Image width 240 mm. Slice index 93. Axial slice.
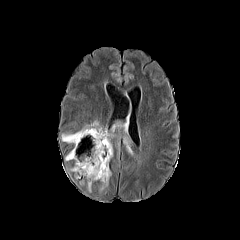
FLAIR MR image.
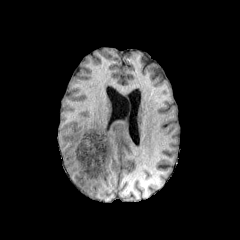
T1-weighted MR image of the same slice.
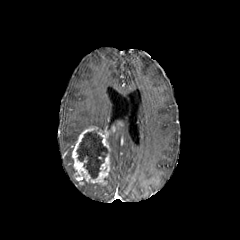
Post-contrast T1-weighted MR image.
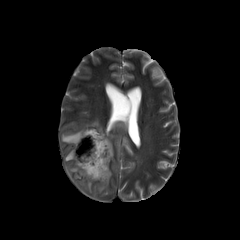
T2-weighted MRI.
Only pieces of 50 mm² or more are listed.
peritumoral edema — [108, 134, 113, 159], [61, 120, 103, 143], [124, 137, 133, 155], [65, 151, 72, 161], [99, 171, 111, 191]
enhancing tumor — [72, 126, 111, 184], [111, 123, 122, 132]
necrotic tumor core — [77, 131, 108, 178]